FLAIR MR image.
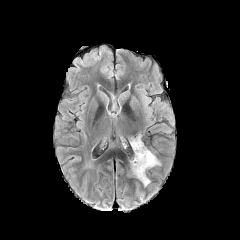
T1-weighted MR.
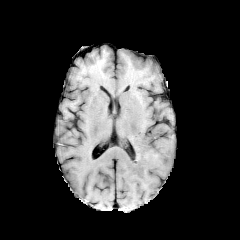
Post-contrast T1-weighted magnetic resonance.
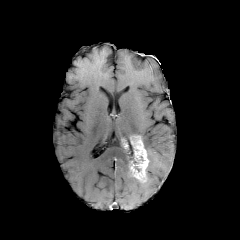
T2-weighted MRI.
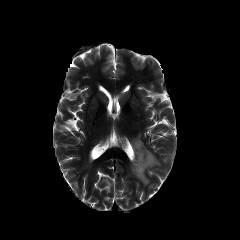
Brain. Axial slice.
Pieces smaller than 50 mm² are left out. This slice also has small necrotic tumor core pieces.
enhancing tumor = (130,136,149,182)
peritumoral edema = (146,149,160,168)